240x240
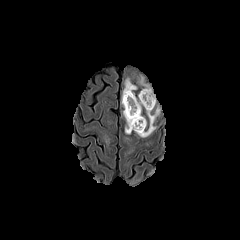
FLAIR MRI.
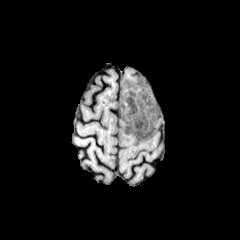
T1-weighted MR image of the same slice.
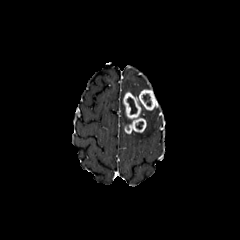
Same slice, post-contrast T1-weighted magnetic resonance.
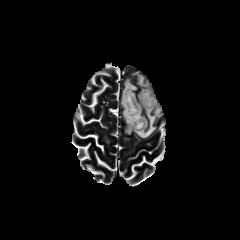
T2-weighted magnetic resonance of the same slice.
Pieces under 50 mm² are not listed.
{
  "peritumoral_edema": [
    "[x1=138, y1=76, x2=150, y2=88]",
    "[x1=135, y1=101, x2=159, y2=137]",
    "[x1=121, y1=78, x2=137, y2=124]"
  ],
  "necrotic_tumor_core": [
    "[x1=143, y1=94, x2=150, y2=105]",
    "[x1=127, y1=97, x2=137, y2=114]"
  ],
  "enhancing_tumor": [
    "[x1=138, y1=89, x2=157, y2=110]",
    "[x1=123, y1=92, x2=146, y2=134]"
  ]
}